240x240, Head
FLAIR MR.
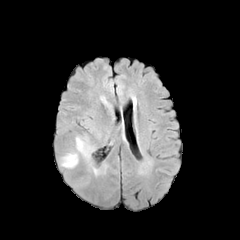
T1-weighted magnetic resonance.
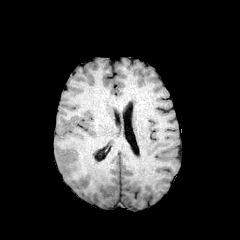
Post-contrast T1-weighted magnetic resonance.
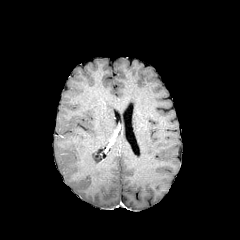
T2-weighted magnetic resonance.
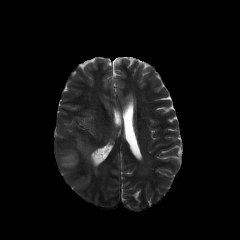
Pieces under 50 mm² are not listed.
Annotated regions:
- peritumoral edema: (x1=61, y1=154, x2=77, y2=167), (x1=76, y1=138, x2=92, y2=156)